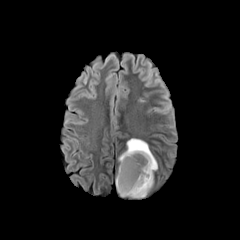
FLAIR magnetic resonance.
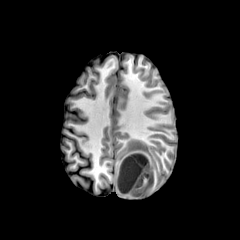
Same slice, T1-weighted MR.
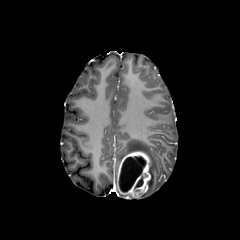
Same slice, post-contrast T1-weighted MR image.
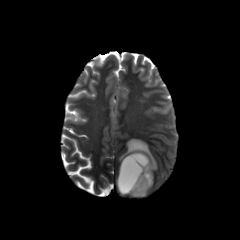
T2-weighted MRI of the same slice.
Axial plane | Brain
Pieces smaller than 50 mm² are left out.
peritumoral edema at 118:138:157:197
necrotic tumor core at 119:156:146:192, 134:176:144:188
enhancing tumor at 117:151:150:197